Slice 113/155. Axial slice. Image size 240x240.
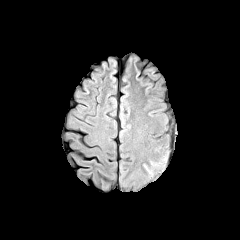
FLAIR MR image.
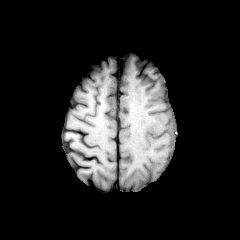
Same slice, T1-weighted MR.
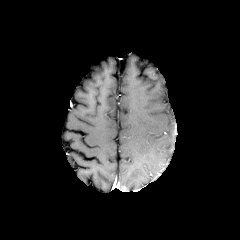
Post-contrast T1-weighted MRI.
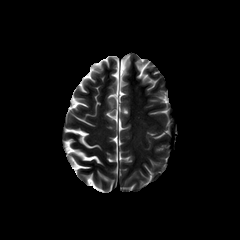
T2-weighted MRI.
<segmentation>
  <peritumoral_edema>142,150,169,178</peritumoral_edema>
</segmentation>